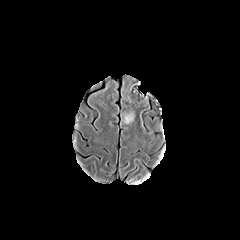
FLAIR MR.
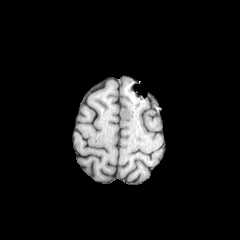
T1-weighted MR of the same slice.
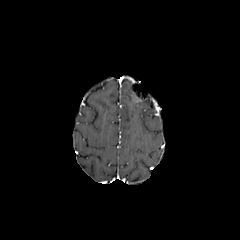
Same slice, post-contrast T1-weighted MRI.
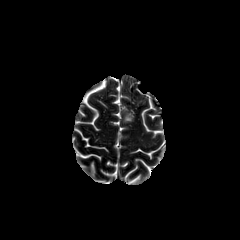
Same slice, T2-weighted magnetic resonance.
Brain | Axial slice
The peritumoral edema is at bbox(123, 111, 134, 124).